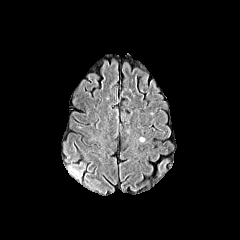
FLAIR MR image.
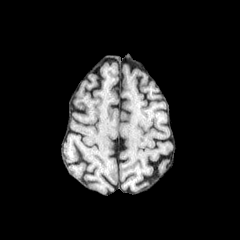
T1-weighted MR.
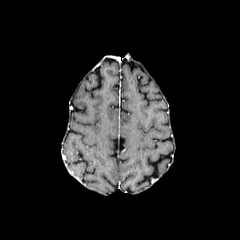
Post-contrast T1-weighted MRI of the same slice.
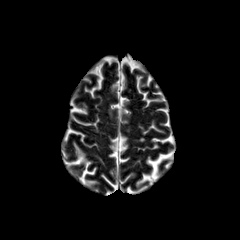
T2-weighted magnetic resonance of the same slice.
Axial slice
peritumoral_edema:
  - [70,167,80,177]